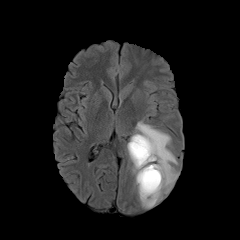
FLAIR magnetic resonance.
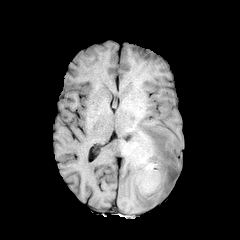
T1-weighted MRI of the same slice.
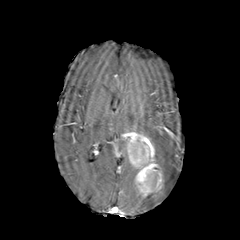
Post-contrast T1-weighted MR.
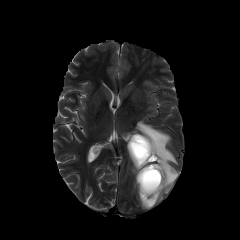
T2-weighted MRI of the same slice.
Axial plane
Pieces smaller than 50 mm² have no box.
enhancing tumor = x1=128 y1=132 x2=155 y2=167, x1=136 y1=165 x2=163 y2=197
peritumoral edema = x1=131 y1=121 x2=178 y2=208
necrotic tumor core = x1=132 y1=138 x2=147 y2=161, x1=142 y1=168 x2=158 y2=190